FLAIR MR.
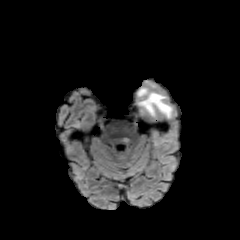
T1-weighted MR.
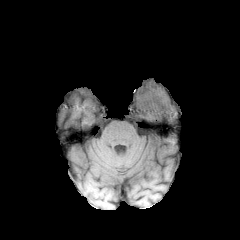
Post-contrast T1-weighted magnetic resonance.
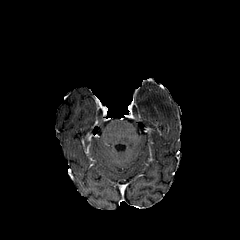
T2-weighted MR image.
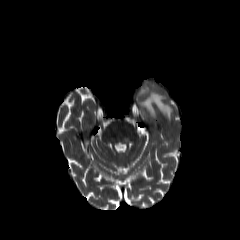
Axial view
3 peritumoral edema regions are bounded by left=121, top=137, right=129, bottom=144; left=149, top=130, right=157, bottom=140; left=137, top=83, right=172, bottom=119.